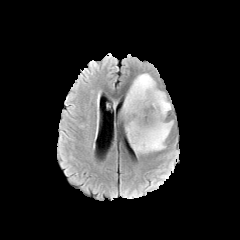
FLAIR MR.
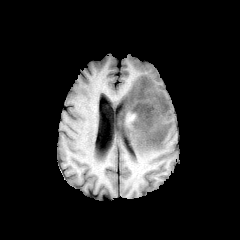
T1-weighted MR of the same slice.
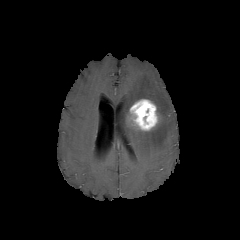
Post-contrast T1-weighted MR of the same slice.
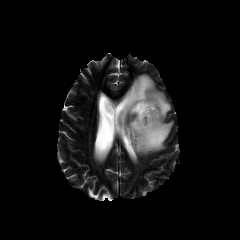
T2-weighted MR.
Brain | 240x240
The peritumoral edema appears at 120,73,173,154. The enhancing tumor is at 129,99,160,131.